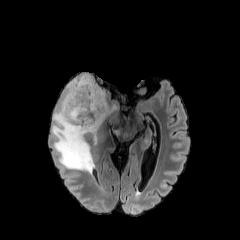
FLAIR magnetic resonance.
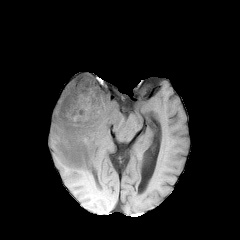
T1-weighted MRI of the same slice.
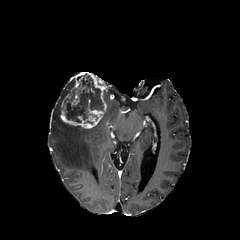
Same slice, post-contrast T1-weighted MR image.
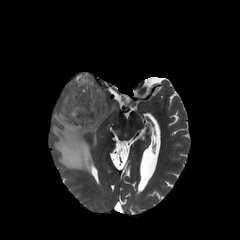
T2-weighted MR of the same slice.
Brain. Axial plane.
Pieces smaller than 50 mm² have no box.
- enhancing tumor: 60 72 106 128
- necrotic tumor core: 64 74 103 122
- peritumoral edema: 52 77 115 172